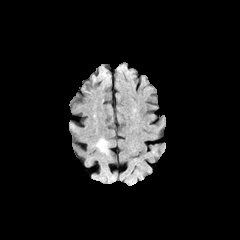
FLAIR magnetic resonance.
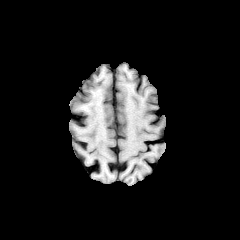
T1-weighted MR.
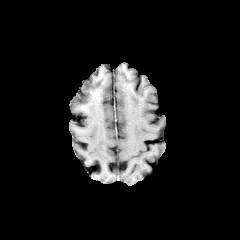
Same slice, post-contrast T1-weighted MR.
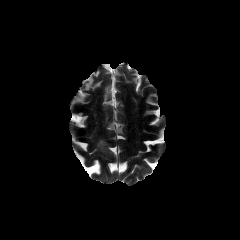
T2-weighted MRI.
Axial view
peritumoral edema: (x1=96, y1=139, x2=108, y2=153)